Axial view; Image covers 240 mm x 240 mm
FLAIR MR.
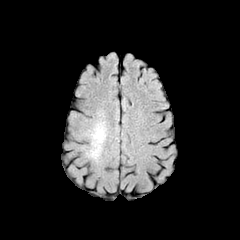
T1-weighted MR.
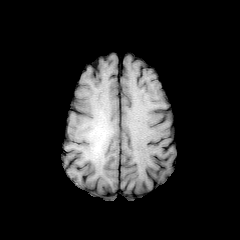
Post-contrast T1-weighted MR.
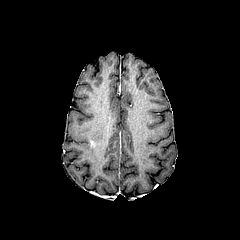
T2-weighted MR image.
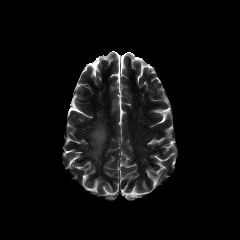
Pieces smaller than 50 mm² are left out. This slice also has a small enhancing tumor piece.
The peritumoral edema is located at {"x1": 85, "y1": 107, "x2": 110, "y2": 164}.